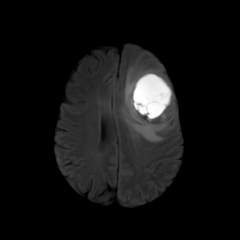
FLAIR MR image.
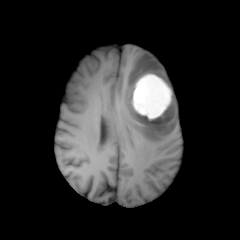
T1-weighted MR.
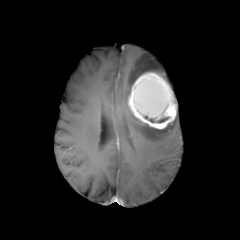
Post-contrast T1-weighted MR image.
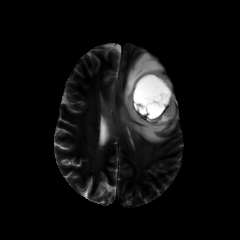
T2-weighted MRI.
Axial plane
The necrotic tumor core appears at 144 116 168 123. The enhancing tumor is located at 128 72 176 129. The peritumoral edema appears at 120 52 176 142.